FLAIR MR image.
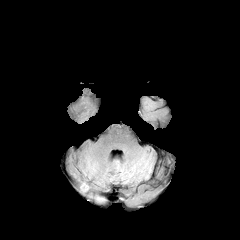
T1-weighted MR image.
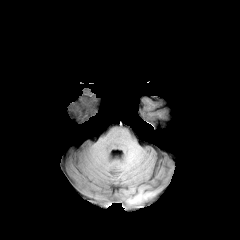
Post-contrast T1-weighted MRI.
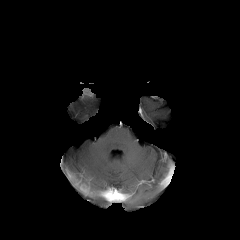
T2-weighted MR.
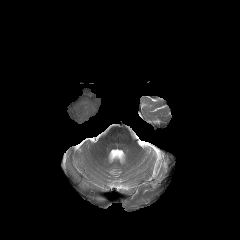
Brain, 240x240 px, Axial view
{"enhancing_tumor": ["(80,183,89,191)"]}